Image covers 240 mm x 240 mm, Axial plane, Slice 98/155, 240x240 px
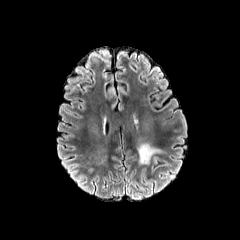
FLAIR MRI.
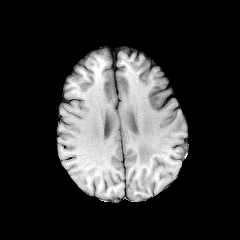
T1-weighted MR image.
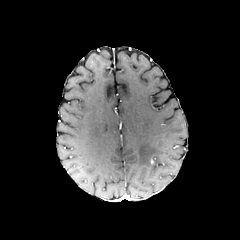
Post-contrast T1-weighted magnetic resonance.
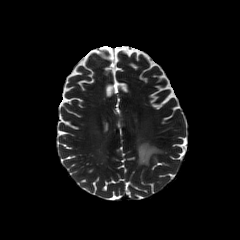
T2-weighted MRI.
peritumoral edema — region(138, 143, 160, 164)